FLAIR MRI.
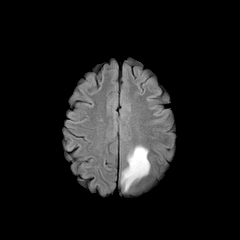
T1-weighted magnetic resonance.
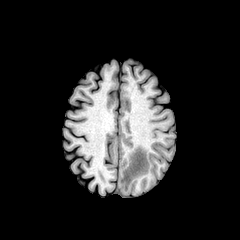
Post-contrast T1-weighted magnetic resonance.
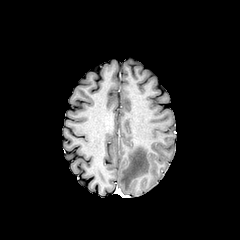
T2-weighted MRI.
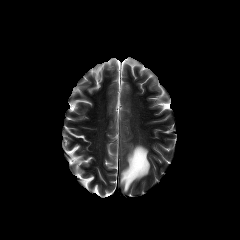
Brain
{"peritumoral_edema": ["<box>120,145,150,191</box>"]}